Head, Axial slice
FLAIR MR image.
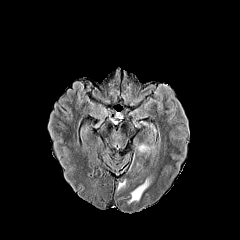
T1-weighted magnetic resonance.
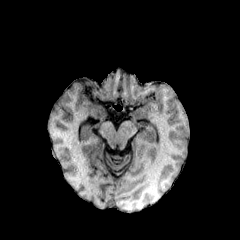
Post-contrast T1-weighted magnetic resonance.
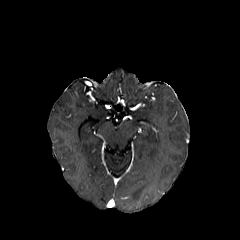
T2-weighted MR.
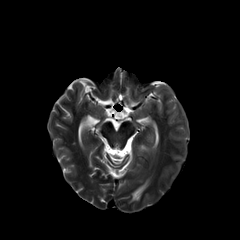
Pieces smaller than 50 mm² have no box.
The 2 largest peritumoral edema regions are located at l=139, t=145, r=148, b=151; l=129, t=179, r=148, b=202.